Head; Image width 240 mm, 1.00 mm slice spacing
FLAIR MR image.
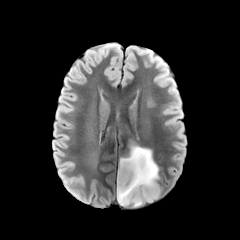
T1-weighted MR.
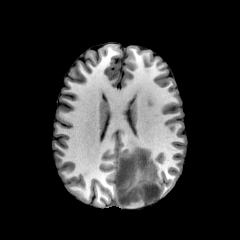
Post-contrast T1-weighted MR image.
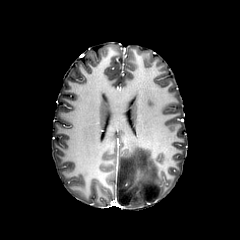
T2-weighted MR.
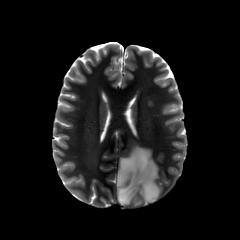
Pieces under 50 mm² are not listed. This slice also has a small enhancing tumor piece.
necrotic tumor core at 123 171 130 186
peritumoral edema at 117 145 160 206